Head; Image size 240x240
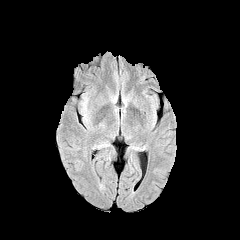
FLAIR MR image.
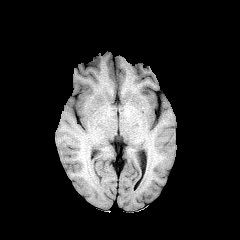
T1-weighted MRI.
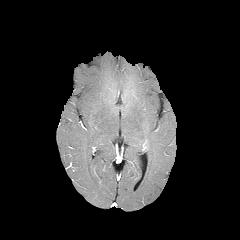
Post-contrast T1-weighted magnetic resonance.
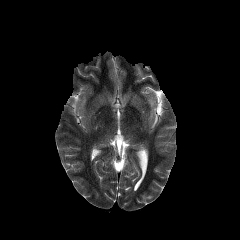
T2-weighted MR image.
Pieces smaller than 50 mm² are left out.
The largest peritumoral edema region appears at {"x1": 80, "y1": 97, "x2": 87, "y2": 112}.